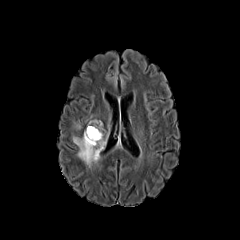
FLAIR magnetic resonance.
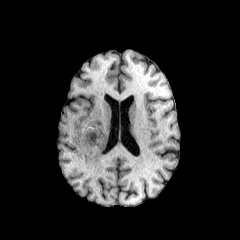
T1-weighted MR.
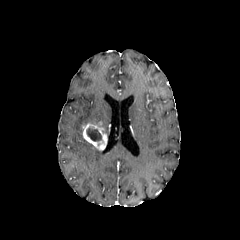
Post-contrast T1-weighted MR image.
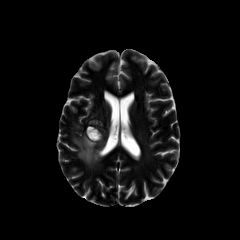
T2-weighted magnetic resonance.
Brain; 240x240 px
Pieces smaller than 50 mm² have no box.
enhancing tumor: bounding box [82, 121, 107, 150]
peritumoral edema: bounding box [73, 122, 81, 129], [72, 136, 100, 167]
necrotic tumor core: bounding box [86, 127, 101, 141]